Image width 240 mm; Slice 105 of 155
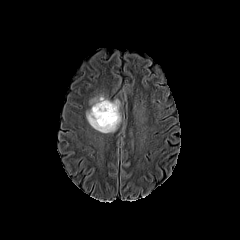
FLAIR magnetic resonance.
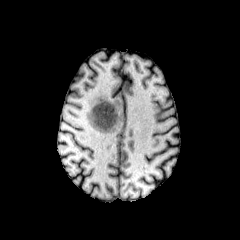
T1-weighted MR of the same slice.
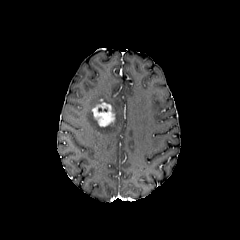
Post-contrast T1-weighted magnetic resonance.
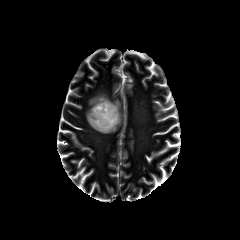
T2-weighted MRI.
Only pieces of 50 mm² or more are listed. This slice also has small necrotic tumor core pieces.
enhancing tumor: x1=92 y1=99 x2=115 y2=126 | peritumoral edema: x1=86 y1=94 x2=121 y2=133